Head. 240x240 px.
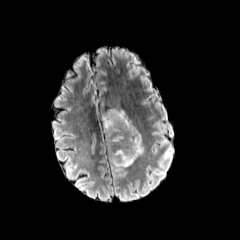
FLAIR MR image.
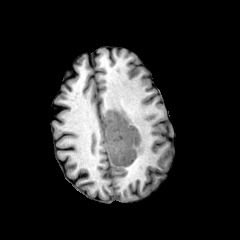
T1-weighted MRI.
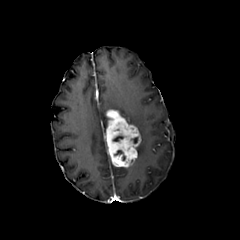
Post-contrast T1-weighted MR of the same slice.
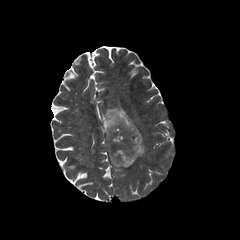
T2-weighted MR of the same slice.
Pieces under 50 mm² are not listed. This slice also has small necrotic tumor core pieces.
peritumoral edema: bounding box (x1=137, y1=141, x2=143, y2=155), (x1=102, y1=113, x2=107, y2=132), (x1=108, y1=108, x2=133, y2=124)
enhancing tumor: bounding box (x1=105, y1=110, x2=141, y2=167)